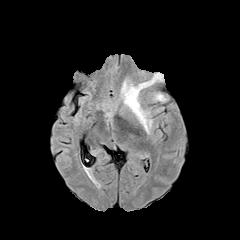
FLAIR MR.
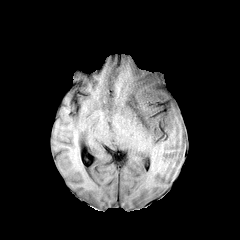
Same slice, T1-weighted MRI.
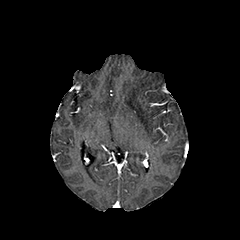
Post-contrast T1-weighted MR.
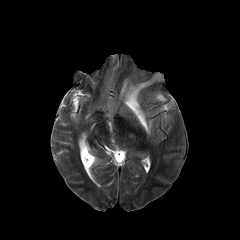
T2-weighted MRI.
Brain; 240x240 px
<segmentation>
  <peritumoral_edema>120:73:163:134, 155:93:165:101</peritumoral_edema>
</segmentation>